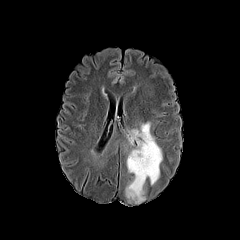
FLAIR MRI.
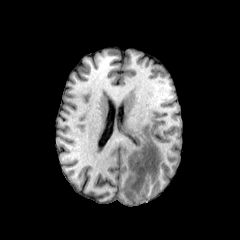
T1-weighted MR.
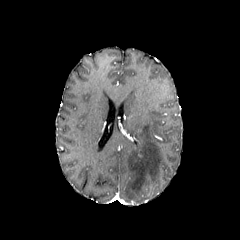
Post-contrast T1-weighted magnetic resonance.
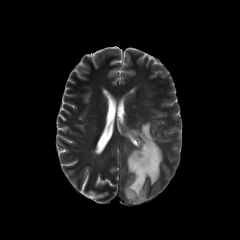
T2-weighted magnetic resonance of the same slice.
Axial plane; 240x240
3 peritumoral edema regions appear at 123:121:162:204, 109:139:120:155, 100:85:108:100.